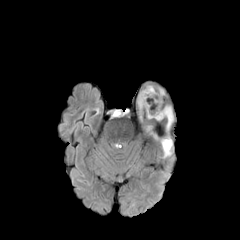
FLAIR MR image.
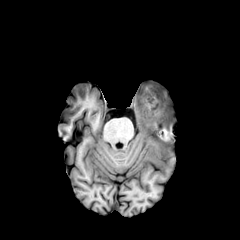
T1-weighted magnetic resonance.
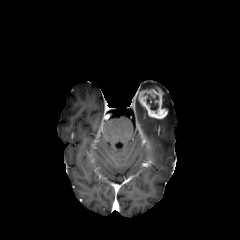
Post-contrast T1-weighted MR image.
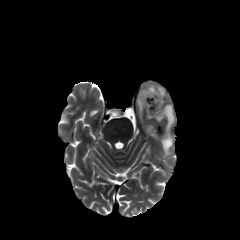
Same slice, T2-weighted MR.
Image size 240x240. Axial view.
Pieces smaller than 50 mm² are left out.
The largest enhancing tumor region appears at l=138, t=87, r=167, b=119. The largest peritumoral edema region is bounded by l=161, t=105, r=173, b=157. The largest necrotic tumor core region is located at l=147, t=94, r=158, b=110.